FLAIR MR image.
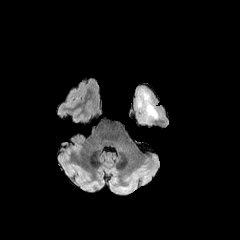
T1-weighted MR.
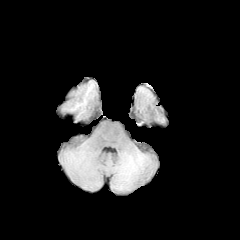
Post-contrast T1-weighted MRI.
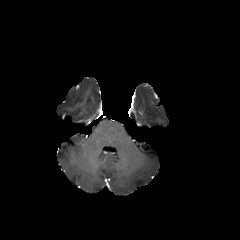
T2-weighted MR image.
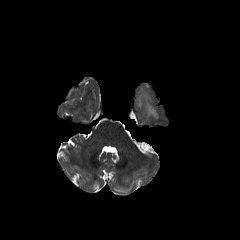
Image size 240x240, Brain
The peritumoral edema is bounded by [136, 89, 158, 122].